Axial plane; Image size 240x240; Head
FLAIR magnetic resonance.
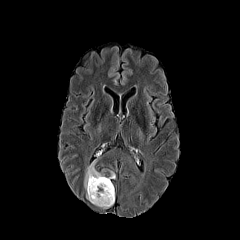
T1-weighted magnetic resonance.
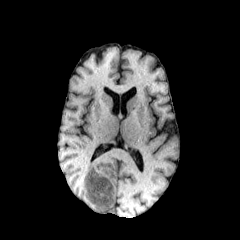
Post-contrast T1-weighted MR.
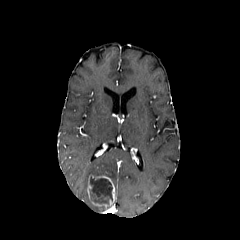
T2-weighted MR image.
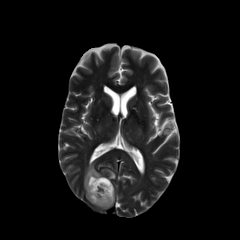
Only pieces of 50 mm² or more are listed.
peritumoral edema: 84:163:105:199
necrotic tumor core: 90:176:112:204
enhancing tumor: 87:175:114:208